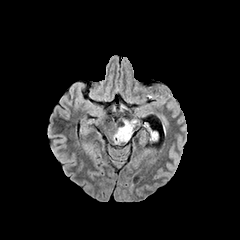
FLAIR MR.
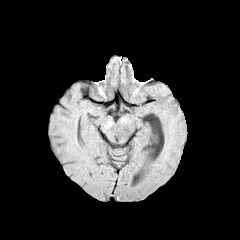
T1-weighted MR.
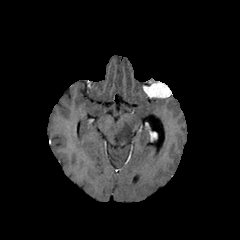
Same slice, post-contrast T1-weighted MRI.
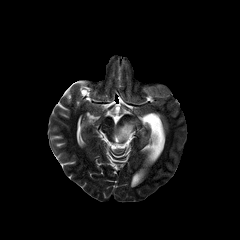
T2-weighted magnetic resonance of the same slice.
240x240, Brain
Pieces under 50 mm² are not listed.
The enhancing tumor appears at bbox=[149, 131, 157, 141]. The largest peritumoral edema region is located at bbox=[113, 120, 137, 143].